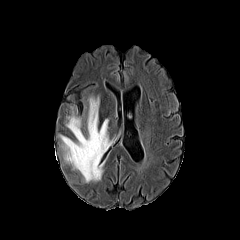
FLAIR MR image.
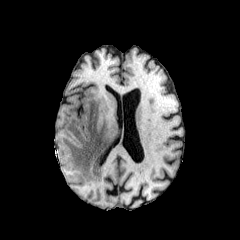
Same slice, T1-weighted magnetic resonance.
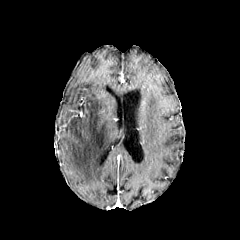
Post-contrast T1-weighted MRI of the same slice.
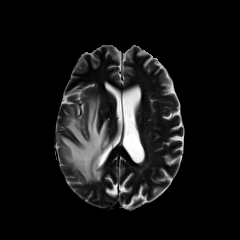
T2-weighted MRI.
Brain | Axial slice
* peritumoral edema: 60,97,111,182